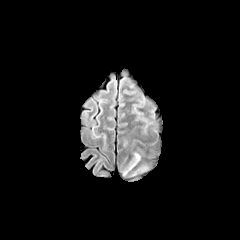
FLAIR MR.
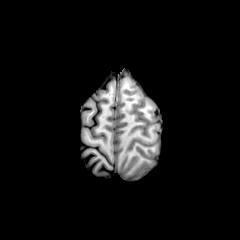
Same slice, T1-weighted magnetic resonance.
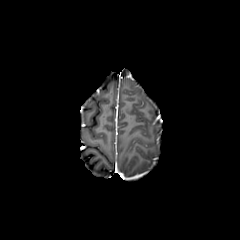
Post-contrast T1-weighted MR image.
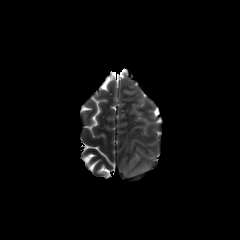
T2-weighted MR.
Image size 240x240.
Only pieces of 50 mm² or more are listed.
peritumoral edema: bbox(129, 154, 139, 169)